Axial view
FLAIR MRI.
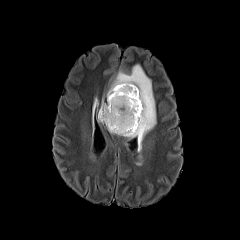
T1-weighted MR image.
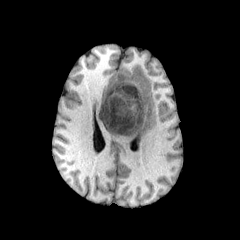
Post-contrast T1-weighted MR.
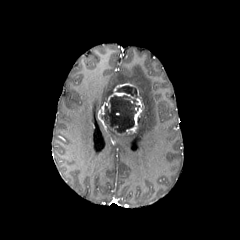
T2-weighted MR image.
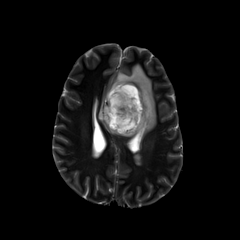
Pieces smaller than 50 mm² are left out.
<segmentation>
  <enhancing_tumor>(98,83,143,133)</enhancing_tumor>
  <peritumoral_edema>(106,64,156,151)</peritumoral_edema>
  <necrotic_tumor_core>(116,86,137,97), (101,95,139,133)</necrotic_tumor_core>
</segmentation>